FLAIR MRI.
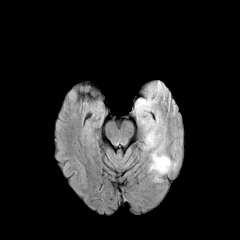
T1-weighted magnetic resonance.
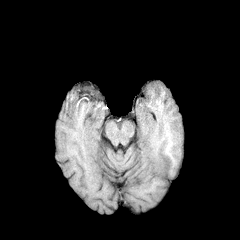
Post-contrast T1-weighted MR image.
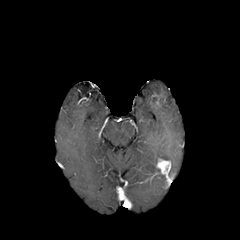
T2-weighted MR image.
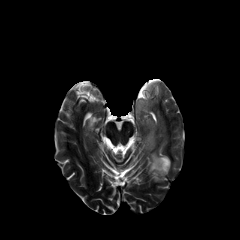
Axial view | 240x240
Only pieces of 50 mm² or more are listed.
enhancing_tumor:
  - bbox=[156, 158, 171, 174]
peritumoral_edema:
  - bbox=[134, 97, 163, 149]
  - bbox=[149, 145, 170, 181]
  - bbox=[145, 85, 169, 100]